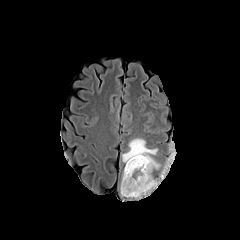
FLAIR MRI.
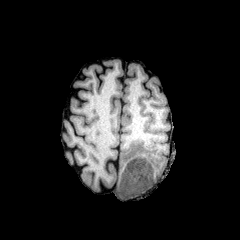
T1-weighted magnetic resonance of the same slice.
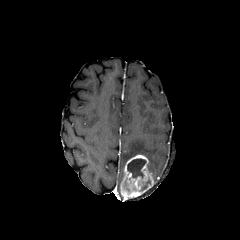
Post-contrast T1-weighted MR of the same slice.
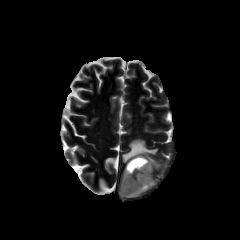
T2-weighted MR of the same slice.
Brain; Axial view
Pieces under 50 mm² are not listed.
necrotic tumor core: x1=127, y1=158, x2=146, y2=177 | peritumoral edema: x1=122, y1=138, x2=160, y2=170 | enhancing tumor: x1=120, y1=155, x2=155, y2=199